240x240, Axial slice, Slice 62/155
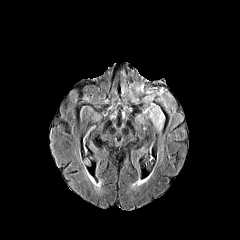
FLAIR MR image.
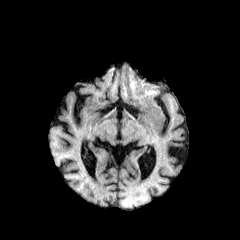
T1-weighted MR.
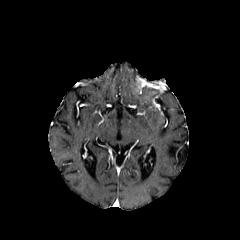
Post-contrast T1-weighted magnetic resonance.
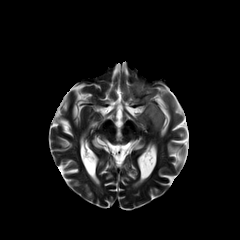
T2-weighted magnetic resonance.
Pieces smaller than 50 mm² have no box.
The enhancing tumor is located at bbox(138, 80, 163, 91). The largest peritumoral edema region is at bbox(145, 96, 164, 130).